FLAIR MR.
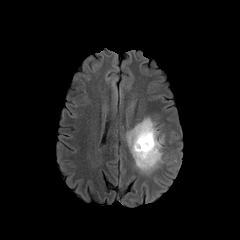
T1-weighted MR image.
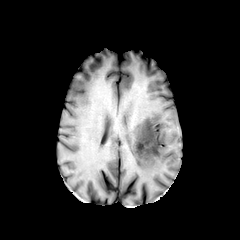
Post-contrast T1-weighted magnetic resonance.
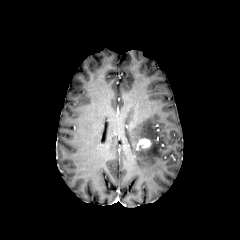
T2-weighted MRI.
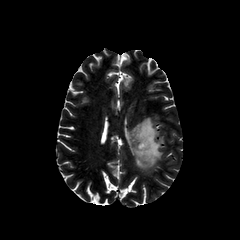
Axial plane | Brain
<segmentation>
  <peritumoral_edema>bbox=[126, 117, 163, 173]</peritumoral_edema>
  <enhancing_tumor>bbox=[135, 138, 150, 150]</enhancing_tumor>
</segmentation>